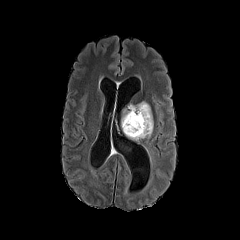
FLAIR MR.
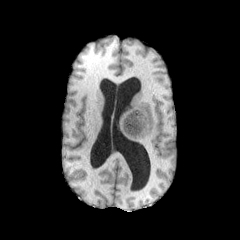
T1-weighted magnetic resonance of the same slice.
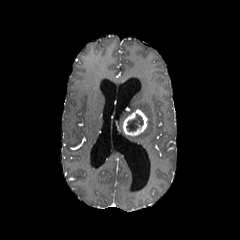
Same slice, post-contrast T1-weighted MR image.
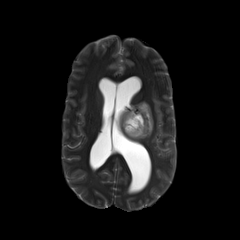
T2-weighted magnetic resonance of the same slice.
peritumoral edema: bounding box 121,101,153,140
enhancing tumor: bounding box 122,109,147,136
necrotic tumor core: bounding box 126,114,143,131